Image width 240 mm | Axial slice
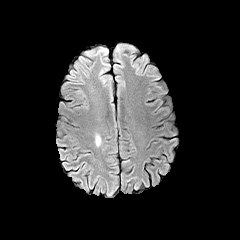
FLAIR magnetic resonance.
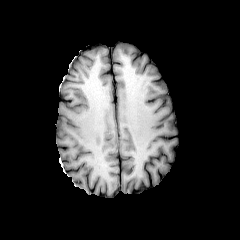
T1-weighted magnetic resonance.
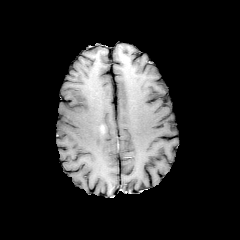
Same slice, post-contrast T1-weighted MR.
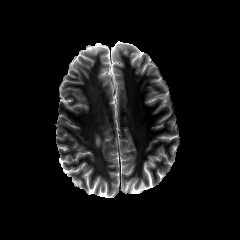
T2-weighted MR image of the same slice.
peritumoral edema: x1=95 y1=127 x2=105 y2=146